FLAIR MR.
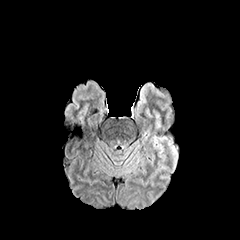
T1-weighted MRI.
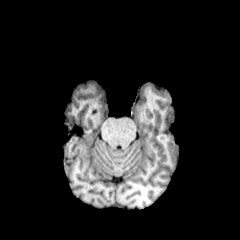
Post-contrast T1-weighted MRI.
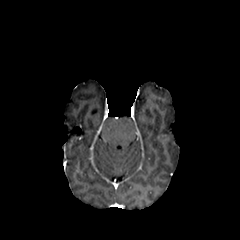
T2-weighted MR.
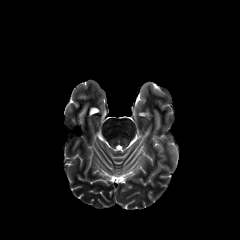
Head.
The peritumoral edema is at bbox(168, 141, 177, 165).